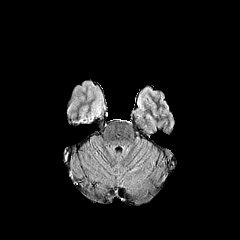
FLAIR MR.
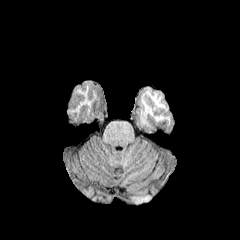
T1-weighted magnetic resonance.
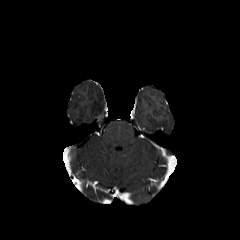
Post-contrast T1-weighted MR image of the same slice.
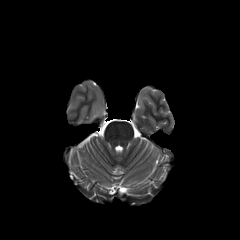
T2-weighted magnetic resonance.
Image size 240x240. Head.
The peritumoral edema is located at x1=95 y1=102 x2=100 y2=112.